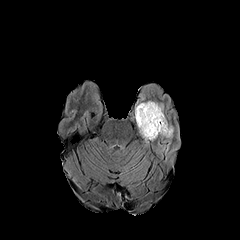
FLAIR magnetic resonance.
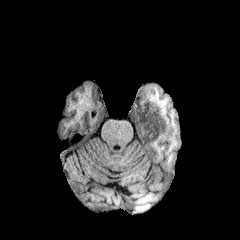
T1-weighted MR of the same slice.
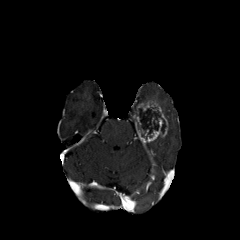
Post-contrast T1-weighted magnetic resonance.
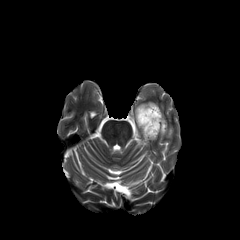
T2-weighted MRI.
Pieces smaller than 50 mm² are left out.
{
  "enhancing_tumor": [
    "rect(136, 101, 167, 141)",
    "rect(135, 115, 144, 134)"
  ],
  "necrotic_tumor_core": [
    "rect(137, 107, 166, 138)"
  ],
  "peritumoral_edema": [
    "rect(166, 125, 173, 137)"
  ]
}